FLAIR MRI.
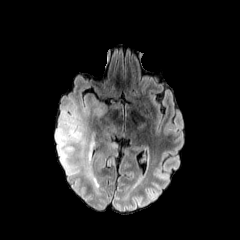
T1-weighted MR image.
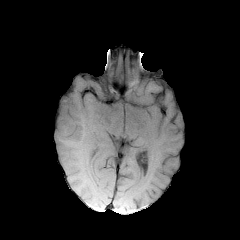
Post-contrast T1-weighted MR image.
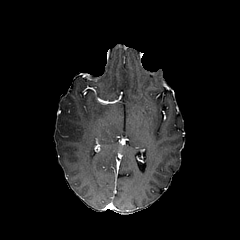
T2-weighted MR.
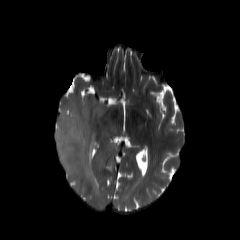
Image size 240x240
2 peritumoral edema regions are bounded by {"x1": 71, "y1": 179, "x2": 80, "y2": 193}, {"x1": 55, "y1": 94, "x2": 106, "y2": 190}.